240x240 px; Slice 112/155
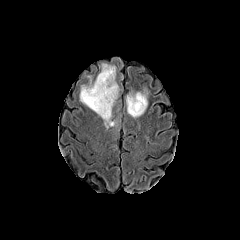
FLAIR MR.
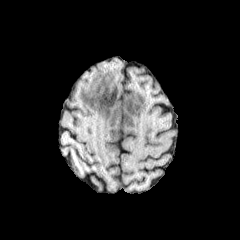
T1-weighted MR image.
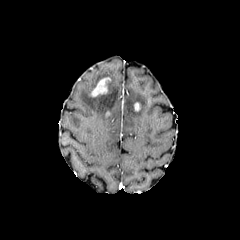
Post-contrast T1-weighted MR image of the same slice.
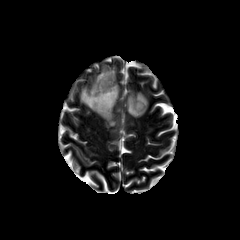
T2-weighted MRI.
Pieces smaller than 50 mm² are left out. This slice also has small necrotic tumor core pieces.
<segmentation>
  <enhancing_tumor>90 77 110 96</enhancing_tumor>
  <peritumoral_edema>80 64 118 128, 126 90 147 117</peritumoral_edema>
</segmentation>